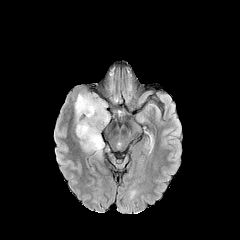
FLAIR magnetic resonance.
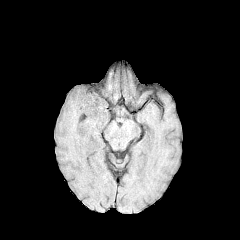
T1-weighted MRI of the same slice.
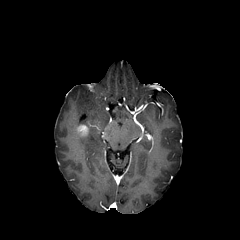
Same slice, post-contrast T1-weighted MRI.
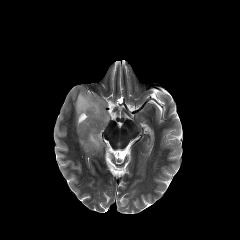
Same slice, T2-weighted magnetic resonance.
Head; Image size 240x240; Axial view
The enhancing tumor is located at (76, 124, 88, 137). The peritumoral edema is at (75, 90, 109, 156).